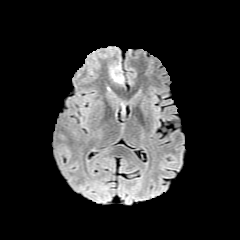
FLAIR MR image.
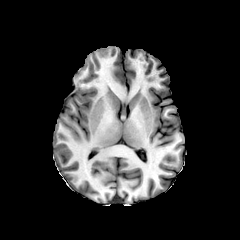
Same slice, T1-weighted MRI.
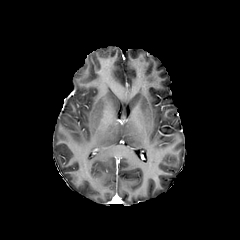
Same slice, post-contrast T1-weighted MR image.
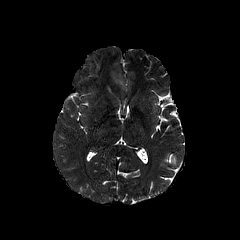
T2-weighted MR image of the same slice.
240x240
Findings:
• peritumoral edema: (left=111, top=71, right=123, bottom=83)